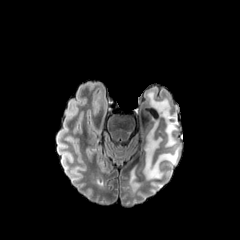
FLAIR MRI.
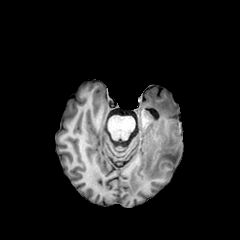
T1-weighted MR of the same slice.
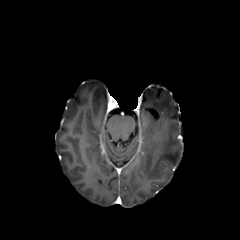
Post-contrast T1-weighted magnetic resonance.
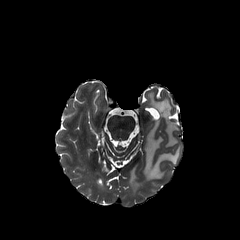
Same slice, T2-weighted MR image.
Brain, 240x240 px
peritumoral edema at <box>143,91,180,179</box>, <box>130,169,140,189</box>